240x240
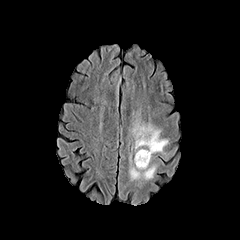
FLAIR MR.
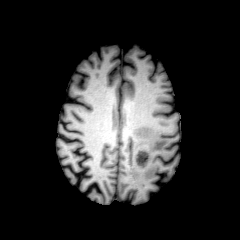
T1-weighted magnetic resonance.
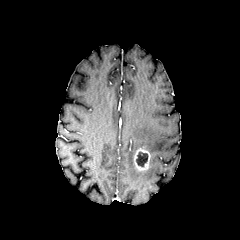
Post-contrast T1-weighted magnetic resonance.
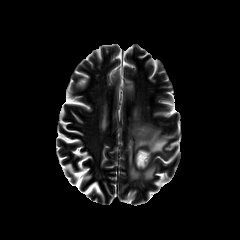
T2-weighted MR.
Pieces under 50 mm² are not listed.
The enhancing tumor is located at [134, 148, 150, 170]. The 2 largest peritumoral edema regions appear at [129, 163, 158, 180], [133, 124, 169, 156]. The necrotic tumor core lies within [136, 152, 147, 166].